FLAIR MRI.
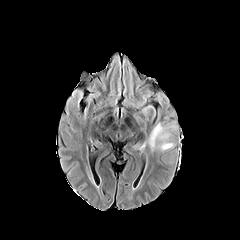
T1-weighted MR image.
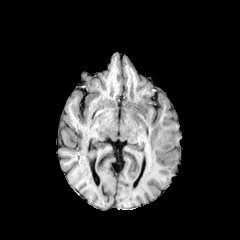
Post-contrast T1-weighted MR.
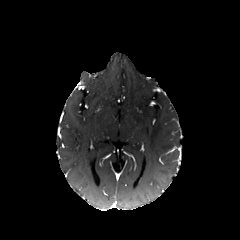
T2-weighted magnetic resonance.
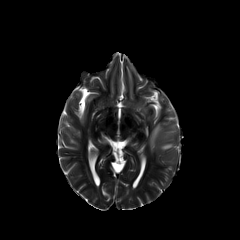
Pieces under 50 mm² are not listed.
peritumoral edema: 149 123 169 150, 160 142 173 150